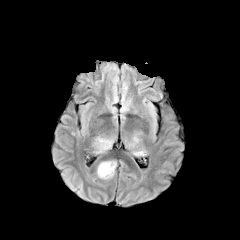
FLAIR MR.
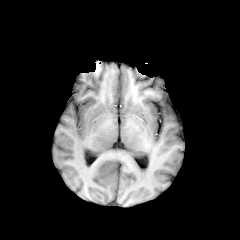
T1-weighted MRI.
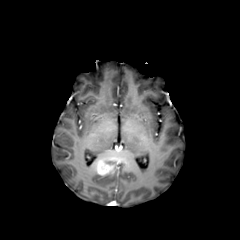
Post-contrast T1-weighted magnetic resonance.
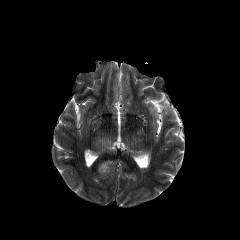
T2-weighted MR.
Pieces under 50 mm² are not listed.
enhancing_tumor:
  - [x1=97, y1=161, x2=114, y2=175]
peritumoral_edema:
  - [x1=97, y1=138, x2=111, y2=151]
  - [x1=104, y1=160, x2=116, y2=171]